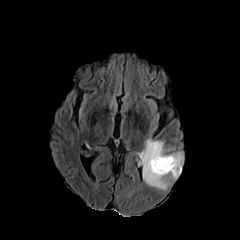
FLAIR MR image.
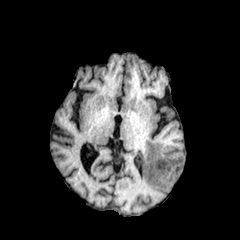
T1-weighted MRI of the same slice.
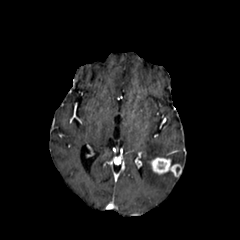
Same slice, post-contrast T1-weighted MR image.
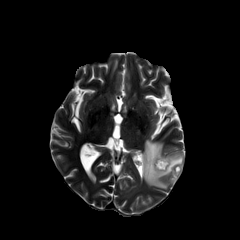
T2-weighted MR of the same slice.
Axial slice. Image size 240x240. Head.
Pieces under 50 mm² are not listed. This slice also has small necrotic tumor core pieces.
enhancing tumor = (left=149, top=157, right=181, bottom=176)
peritumoral edema = (left=141, top=138, right=183, bottom=190)